FLAIR MR image.
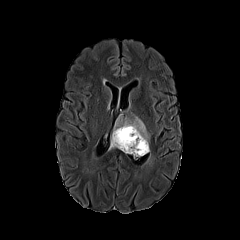
T1-weighted MRI.
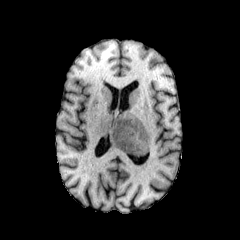
Post-contrast T1-weighted MR.
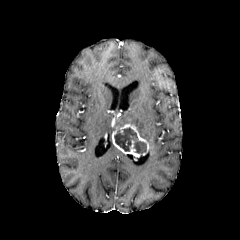
T2-weighted magnetic resonance.
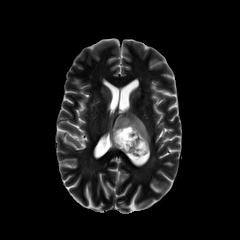
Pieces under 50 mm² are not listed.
enhancing tumor: bounding box 112,123,149,157
necrotic tumor core: bounding box 114,127,146,153
peritumoral edema: bounding box 113,114,149,142